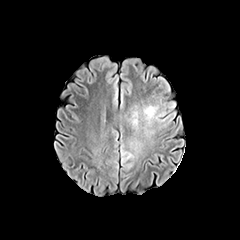
FLAIR MR image.
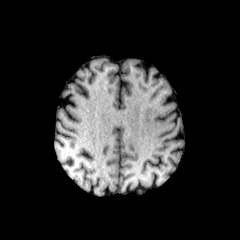
T1-weighted MR.
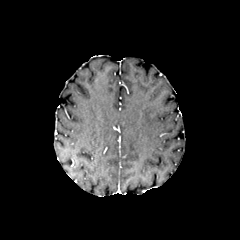
Same slice, post-contrast T1-weighted MR image.
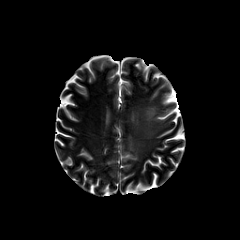
T2-weighted magnetic resonance.
Brain; Image size 240x240; Axial view
* peritumoral edema: {"x1": 143, "y1": 105, "x2": 158, "y2": 124}